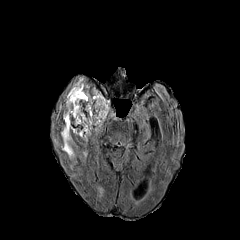
FLAIR MR image.
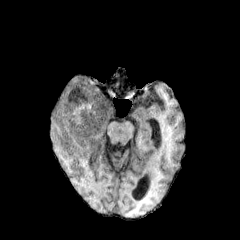
T1-weighted MR image of the same slice.
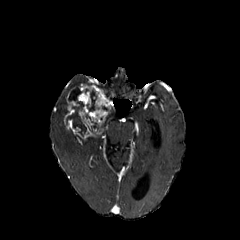
Post-contrast T1-weighted magnetic resonance.
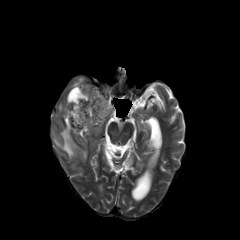
Same slice, T2-weighted MR.
Brain
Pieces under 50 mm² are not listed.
Annotated regions:
- enhancing tumor: bbox(64, 83, 110, 140)
- peritumoral edema: bbox(73, 77, 83, 86); bbox(54, 125, 77, 158)
- necrotic tumor core: bbox(66, 87, 86, 135); bbox(87, 90, 96, 111)